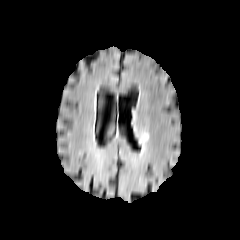
FLAIR MR.
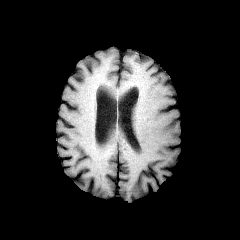
T1-weighted MR image.
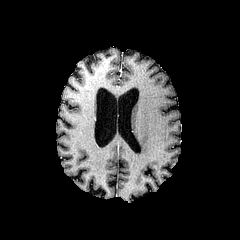
Same slice, post-contrast T1-weighted MR.
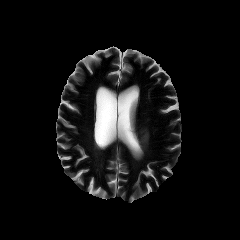
T2-weighted MRI.
240x240
peritumoral edema: left=140, top=132, right=148, bottom=148